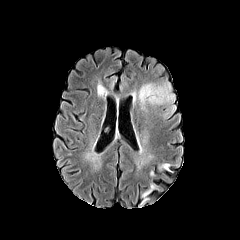
FLAIR MR.
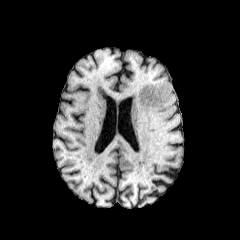
T1-weighted MR image.
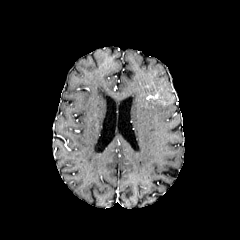
Post-contrast T1-weighted MRI of the same slice.
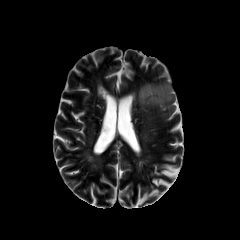
T2-weighted MR image.
240x240 px. Head. Axial plane.
<segmentation>
  <peritumoral_edema>(165,107,173,116), (137,83,174,109)</peritumoral_edema>
</segmentation>